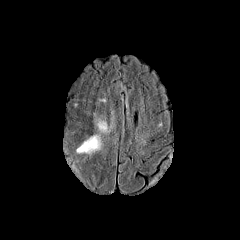
FLAIR MR image.
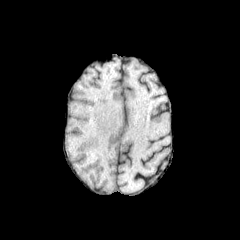
T1-weighted MRI of the same slice.
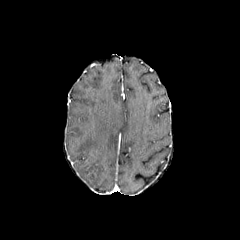
Post-contrast T1-weighted MR.
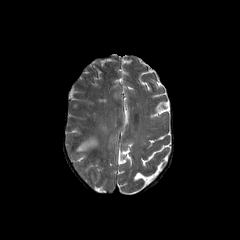
Same slice, T2-weighted MR image.
Head | Axial plane
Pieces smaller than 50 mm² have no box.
peritumoral edema: bounding box (left=77, top=137, right=99, bottom=152)